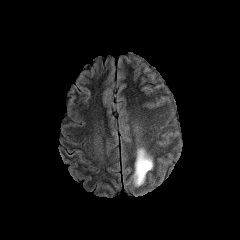
FLAIR magnetic resonance.
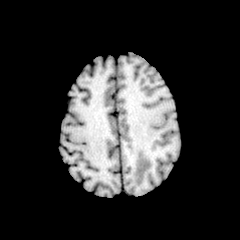
Same slice, T1-weighted magnetic resonance.
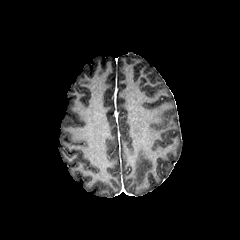
Post-contrast T1-weighted MR image of the same slice.
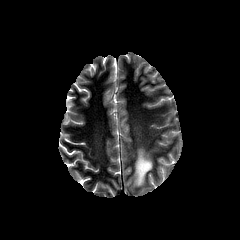
T2-weighted MR image of the same slice.
Axial plane
Annotated regions:
* peritumoral edema: bbox(133, 148, 152, 185)